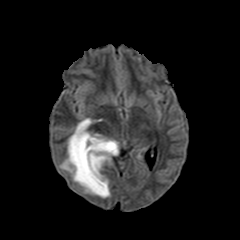
FLAIR MR.
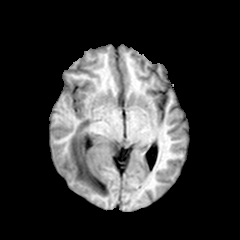
T1-weighted magnetic resonance.
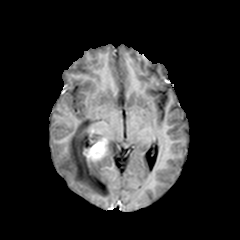
Post-contrast T1-weighted MR.
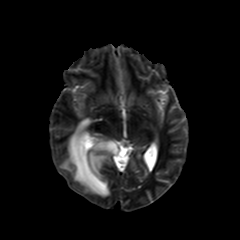
Same slice, T2-weighted MR.
Axial view
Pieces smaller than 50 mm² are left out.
peritumoral edema — region(60, 118, 118, 197)
enhancing tumor — region(83, 137, 108, 162)